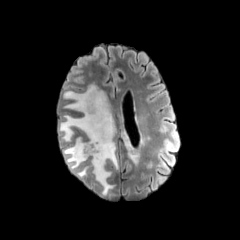
FLAIR MR.
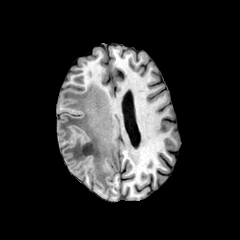
T1-weighted MR.
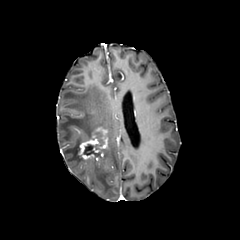
Post-contrast T1-weighted MRI of the same slice.
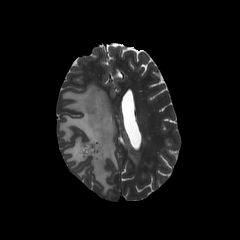
T2-weighted MR image of the same slice.
Axial view, Head, Image size 240x240
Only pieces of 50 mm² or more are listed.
The largest enhancing tumor region lies within {"x1": 78, "y1": 128, "x2": 108, "y2": 162}. The necrotic tumor core is at {"x1": 83, "y1": 132, "x2": 104, "y2": 157}. 2 peritumoral edema regions appear at {"x1": 120, "y1": 130, "x2": 142, "y2": 165}, {"x1": 59, "y1": 84, "x2": 118, "y2": 195}.